FLAIR MRI.
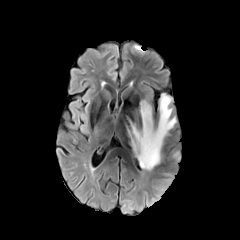
T1-weighted MR.
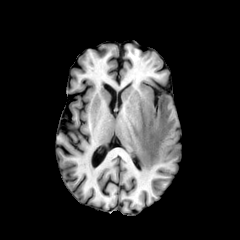
Post-contrast T1-weighted MR.
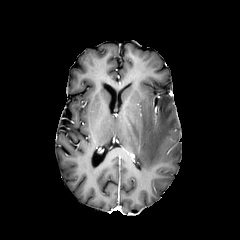
T2-weighted magnetic resonance.
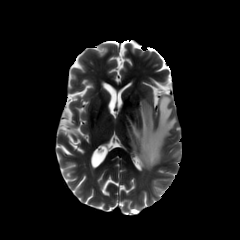
Brain
The peritumoral edema is at l=128, t=93, r=176, b=171.